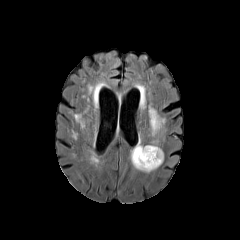
FLAIR MRI.
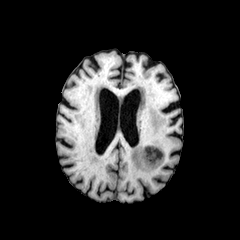
T1-weighted MR.
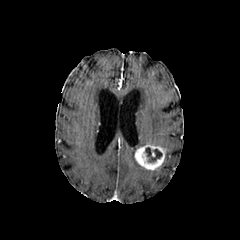
Post-contrast T1-weighted magnetic resonance.
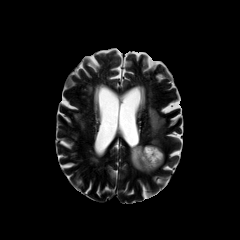
Same slice, T2-weighted MR image.
Brain
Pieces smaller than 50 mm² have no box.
necrotic tumor core = box(145, 147, 162, 162)
peritumoral edema = box(130, 142, 151, 173); box(148, 107, 165, 135)
enhancing tumor = box(134, 145, 164, 170)